Axial slice, Image covers 240 mm x 240 mm, Head
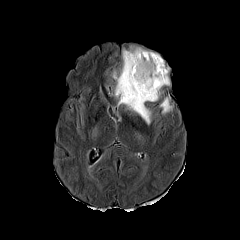
FLAIR MR image.
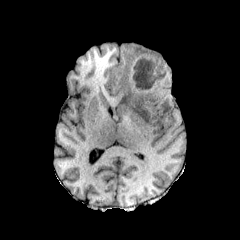
Same slice, T1-weighted magnetic resonance.
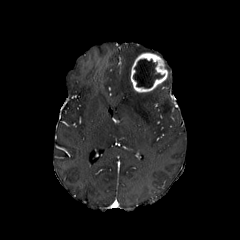
Same slice, post-contrast T1-weighted MRI.
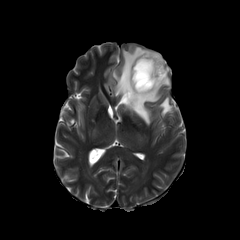
T2-weighted magnetic resonance of the same slice.
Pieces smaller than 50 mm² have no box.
enhancing tumor: [131,53,167,92]
necrotic tumor core: [133,59,164,88]
peritumoral edema: [160,97,172,114], [113,46,170,124]